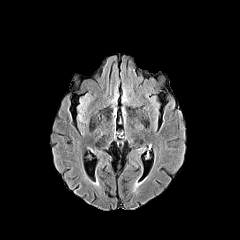
FLAIR MR.
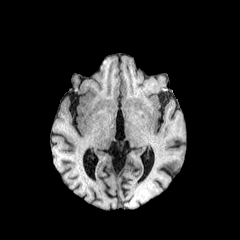
Same slice, T1-weighted MR.
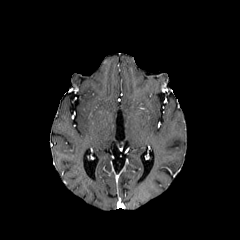
Same slice, post-contrast T1-weighted MRI.
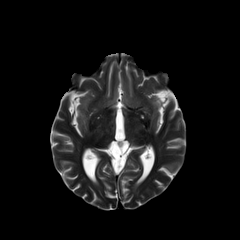
T2-weighted MR.
Axial slice | Brain
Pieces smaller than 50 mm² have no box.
The largest peritumoral edema region is bounded by rect(79, 99, 89, 112).